240x240 px | Axial view | Brain
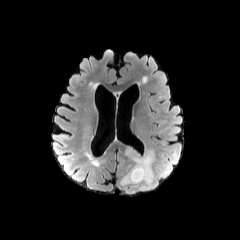
FLAIR MRI.
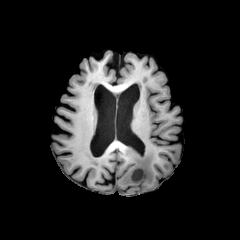
T1-weighted MR image.
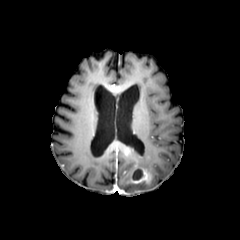
Post-contrast T1-weighted magnetic resonance of the same slice.
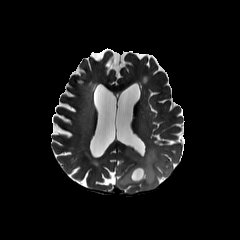
Same slice, T2-weighted MR image.
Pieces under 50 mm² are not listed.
{
  "peritumoral_edema": [
    "(x1=116, y1=146, x2=158, y2=194)"
  ],
  "necrotic_tumor_core": [
    "(x1=132, y1=169, x2=142, y2=180)"
  ],
  "enhancing_tumor": [
    "(x1=119, y1=160, x2=153, y2=187)",
    "(x1=123, y1=146, x2=133, y2=155)"
  ]
}